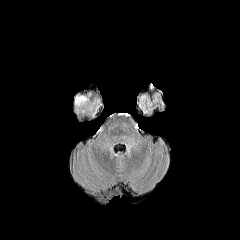
FLAIR magnetic resonance.
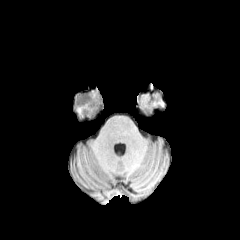
Same slice, T1-weighted MR.
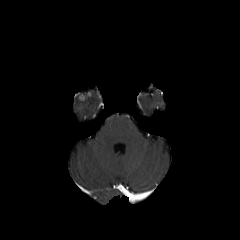
Post-contrast T1-weighted MRI.
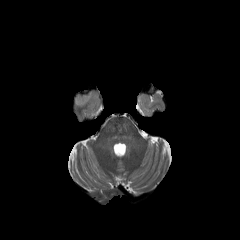
Same slice, T2-weighted MRI.
Brain; 240x240 px; Axial slice
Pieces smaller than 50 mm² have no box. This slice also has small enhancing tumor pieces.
The largest peritumoral edema region lies within l=74, t=93, r=91, b=105.